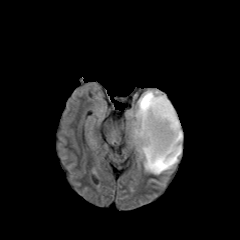
FLAIR magnetic resonance.
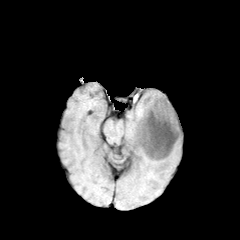
T1-weighted magnetic resonance of the same slice.
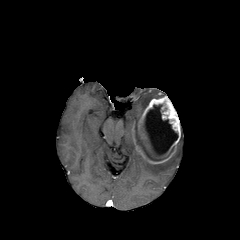
Post-contrast T1-weighted MR.
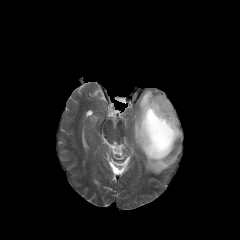
Same slice, T2-weighted magnetic resonance.
Axial plane
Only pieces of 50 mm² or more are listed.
enhancing tumor: 132, 96, 181, 164
necrotic tumor core: 134, 104, 178, 161
peritumoral edema: 125, 90, 165, 149; 140, 133, 182, 174